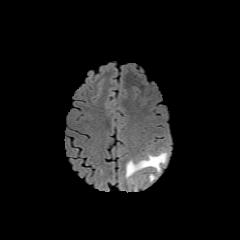
FLAIR magnetic resonance.
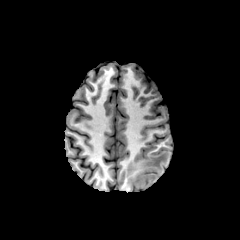
Same slice, T1-weighted MRI.
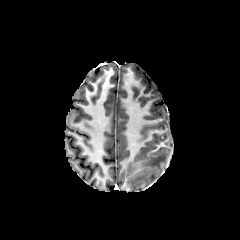
Post-contrast T1-weighted magnetic resonance.
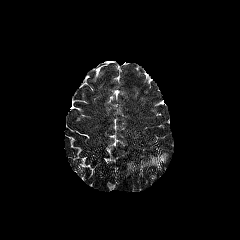
T2-weighted MR image.
Head. Image size 240x240. Axial slice.
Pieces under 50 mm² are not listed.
The largest peritumoral edema region is bounded by (left=125, top=152, right=168, bottom=178).